Image width 240 mm, Slice 86 of 155
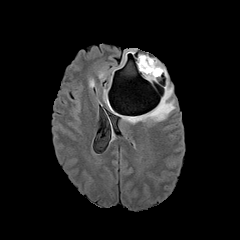
FLAIR MRI.
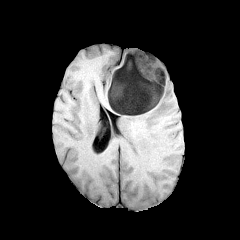
T1-weighted MR.
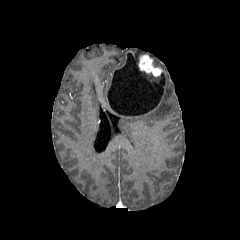
Post-contrast T1-weighted MR image of the same slice.
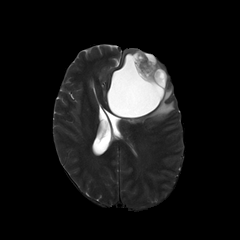
T2-weighted MR of the same slice.
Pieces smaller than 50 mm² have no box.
The largest necrotic tumor core region is located at [x1=108, y1=53, x2=164, y2=115]. The 2 largest peritumoral edema regions are bounded by [x1=142, y1=71, x2=155, y2=79], [x1=129, y1=84, x2=174, y2=122]. The 2 largest enhancing tumor regions appear at [x1=107, y1=98, x2=161, y2=117], [x1=139, y1=55, x2=162, y2=76].